Head.
FLAIR MR image.
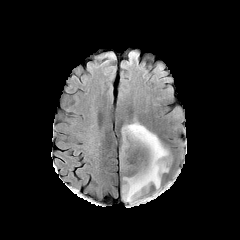
T1-weighted MR image.
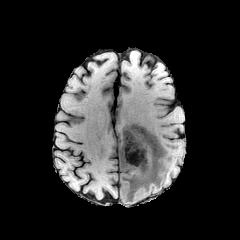
Post-contrast T1-weighted MR image.
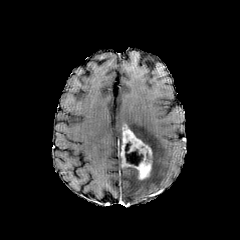
T2-weighted MR image.
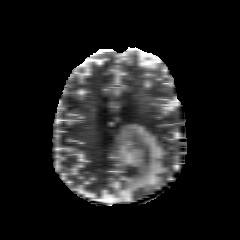
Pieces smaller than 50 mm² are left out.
{
  "peritumoral_edema": [
    "(x1=122, y1=122, x2=168, y2=202)"
  ],
  "enhancing_tumor": [
    "(x1=120, y1=125, x2=152, y2=179)"
  ],
  "necrotic_tumor_core": [
    "(x1=125, y1=142, x2=143, y2=165)"
  ]
}